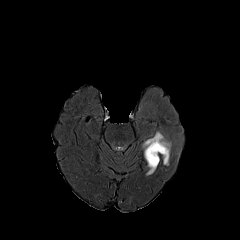
FLAIR MR image.
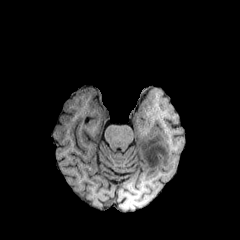
T1-weighted MR image.
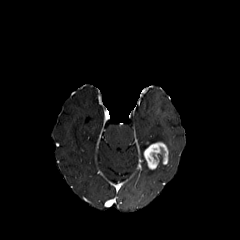
Post-contrast T1-weighted MR.
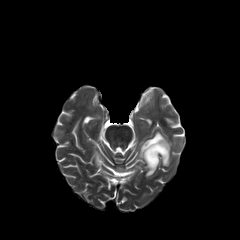
T2-weighted MR image.
240x240
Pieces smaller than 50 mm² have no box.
The largest peritumoral edema region is located at (left=142, top=131, right=171, bottom=157). The largest enhancing tumor region is located at (left=144, top=141, right=168, bottom=169).